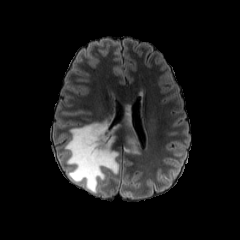
FLAIR magnetic resonance.
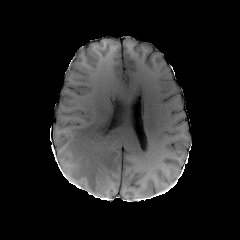
Same slice, T1-weighted magnetic resonance.
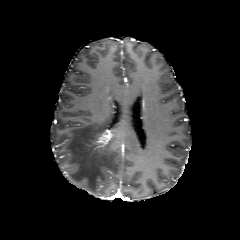
Post-contrast T1-weighted MRI of the same slice.
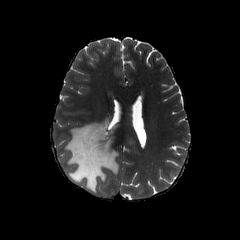
T2-weighted magnetic resonance.
Head
Findings:
* peritumoral edema: 65, 120, 119, 193; 125, 139, 137, 152
* enhancing tumor: 94, 130, 112, 145